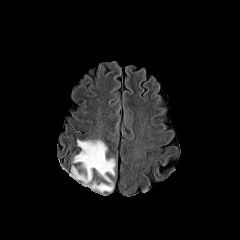
FLAIR MR.
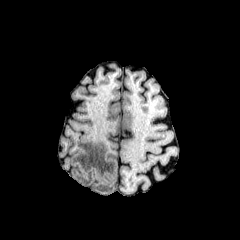
Same slice, T1-weighted MR.
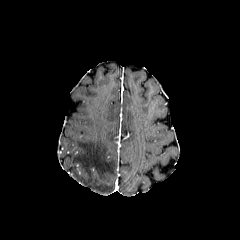
Post-contrast T1-weighted MR.
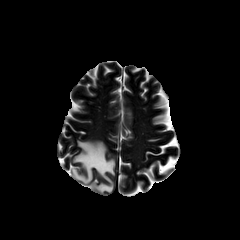
T2-weighted magnetic resonance.
Axial view. Image size 240x240. Brain.
- peritumoral edema: (71, 140, 115, 193)